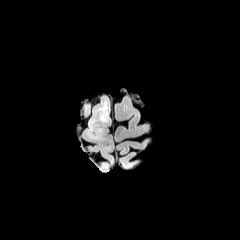
FLAIR MR image.
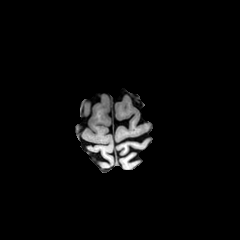
T1-weighted MR image.
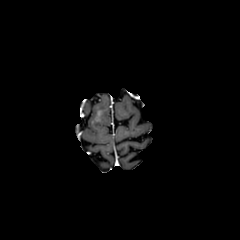
Post-contrast T1-weighted MR image.
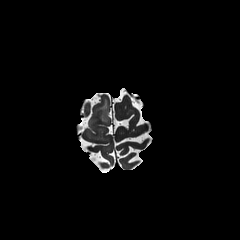
T2-weighted MRI of the same slice.
Brain | Image size 240x240
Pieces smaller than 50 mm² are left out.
peritumoral edema: (left=89, top=117, right=98, bottom=129), (left=94, top=99, right=109, bottom=122) | enhancing tumor: (left=92, top=110, right=103, bottom=122)